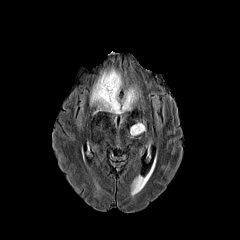
FLAIR MR image.
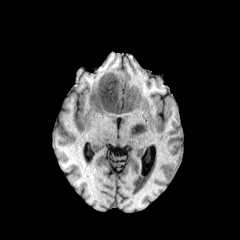
Same slice, T1-weighted magnetic resonance.
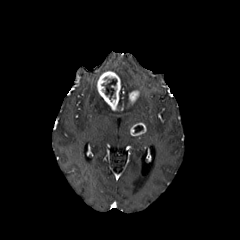
Same slice, post-contrast T1-weighted MRI.
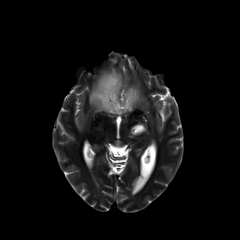
Same slice, T2-weighted MRI.
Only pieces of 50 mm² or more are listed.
<segmentation>
  <necrotic_tumor_core>(x1=134, y1=125, x2=143, y2=132), (x1=102, y1=79, x2=116, y2=99)</necrotic_tumor_core>
  <enhancing_tumor>(x1=126, y1=90, x2=139, y2=107), (x1=97, y1=71, x2=120, y2=111), (x1=130, y1=122, x2=146, y2=135)</enhancing_tumor>
  <peritumoral_edema>(x1=90, y1=81, x2=139, y2=122), (x1=100, y1=67, x2=123, y2=88)</peritumoral_edema>
</segmentation>